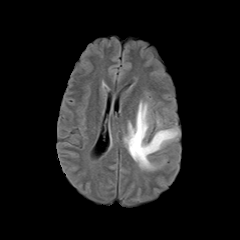
FLAIR magnetic resonance.
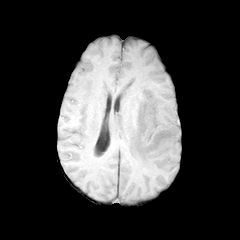
T1-weighted MR image of the same slice.
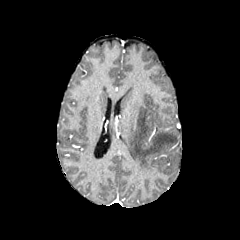
Post-contrast T1-weighted MR image.
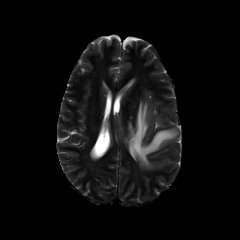
T2-weighted MRI.
peritumoral edema: 156:116:162:127, 123:96:179:170